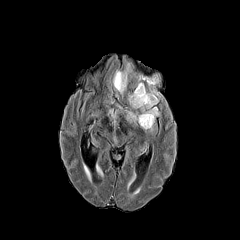
FLAIR MR image.
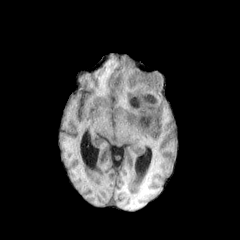
T1-weighted magnetic resonance.
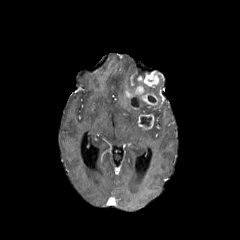
Post-contrast T1-weighted magnetic resonance.
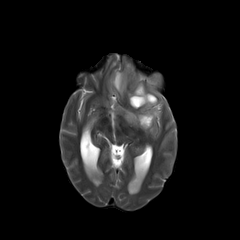
T2-weighted MR.
Head.
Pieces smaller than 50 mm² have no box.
<segmentation>
  <enhancing_tumor>137:72:159:87, 138:114:154:129, 126:85:158:105</enhancing_tumor>
  <peritumoral_edema>149:87:158:95, 112:63:131:95, 145:107:159:117, 125:110:138:124</peritumoral_edema>
  <necrotic_tumor_core>140:117:151:126, 148:95:156:102, 130:96:144:107</necrotic_tumor_core>
</segmentation>